FLAIR MR image.
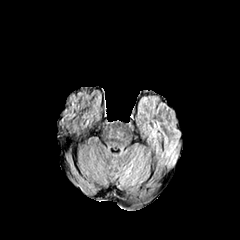
T1-weighted MR image.
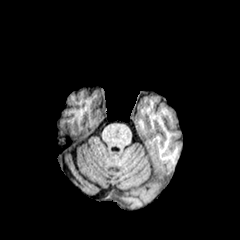
Post-contrast T1-weighted MRI.
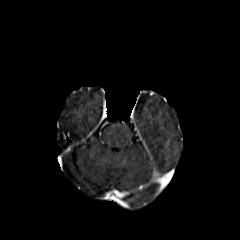
T2-weighted magnetic resonance.
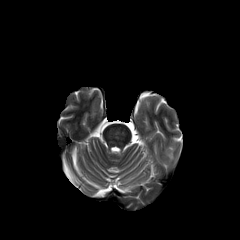
Brain | 240x240 px
The peritumoral edema is at bbox(166, 144, 176, 161).